240x240 px | Axial plane | Image width 240 mm, 1.00 mm slice spacing
FLAIR MR.
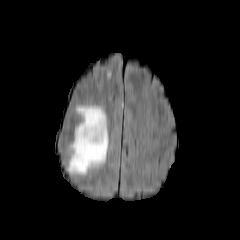
T1-weighted magnetic resonance.
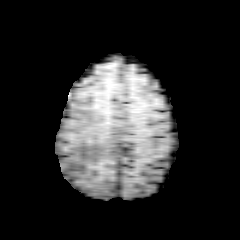
Post-contrast T1-weighted MR image.
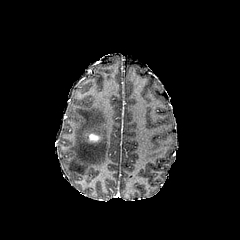
T2-weighted magnetic resonance.
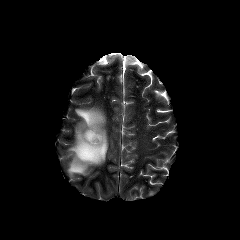
{"peritumoral_edema": ["68, 106, 108, 174"], "enhancing_tumor": ["88, 133, 100, 142"]}